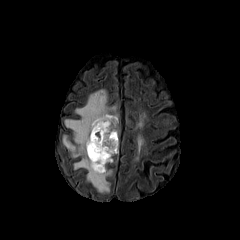
FLAIR MR image.
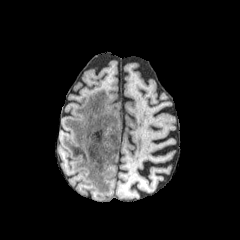
T1-weighted MRI.
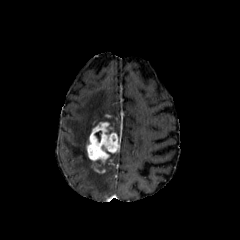
Post-contrast T1-weighted MRI.
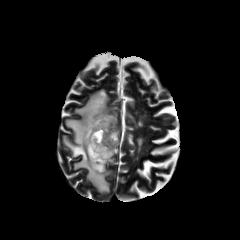
T2-weighted MR image.
Head
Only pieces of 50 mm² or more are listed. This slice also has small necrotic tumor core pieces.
The largest enhancing tumor region is located at {"x1": 86, "y1": 121, "x2": 119, "y2": 173}. The largest peritumoral edema region is at {"x1": 63, "y1": 89, "x2": 118, "y2": 193}.